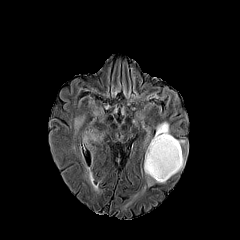
FLAIR MRI.
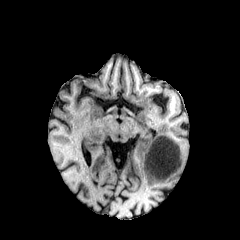
T1-weighted magnetic resonance of the same slice.
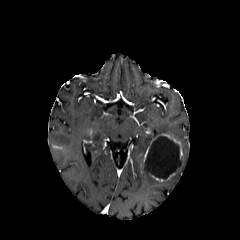
Post-contrast T1-weighted MR.
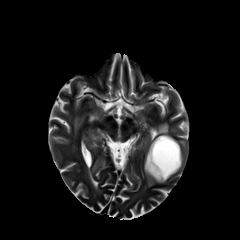
T2-weighted MR image of the same slice.
Brain; 240x240 px; Axial plane
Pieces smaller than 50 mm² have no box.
peritumoral edema: left=83, top=132, right=95, bottom=146; left=74, top=115, right=84, bottom=131; left=145, top=171, right=165, bottom=186; left=155, top=122, right=169, bottom=136 | enhancing tumor: left=149, top=172, right=176, bottom=181; left=143, top=133, right=182, bottom=163 | necrotic tumor core: left=144, top=136, right=181, bottom=179